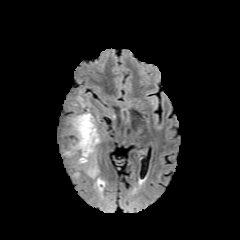
FLAIR MRI.
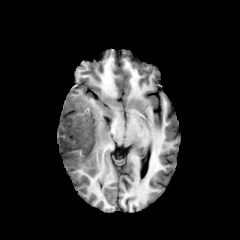
Same slice, T1-weighted MR.
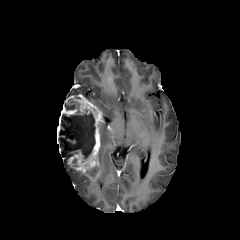
Post-contrast T1-weighted MRI.
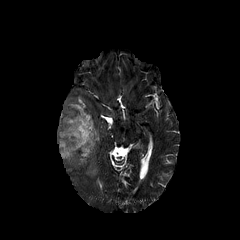
T2-weighted MR of the same slice.
Head
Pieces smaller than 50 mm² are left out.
<segmentation>
  <necrotic_tumor_core><box>65,101,79,109</box>, <box>58,110,95,159</box></necrotic_tumor_core>
  <enhancing_tumor><box>57,94,102,179</box></enhancing_tumor>
  <peritumoral_edema><box>94,177,104,190</box></peritumoral_edema>
</segmentation>